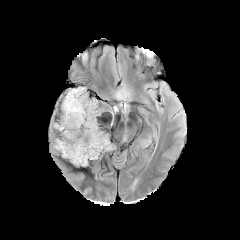
FLAIR MRI.
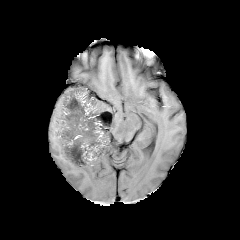
T1-weighted MR image.
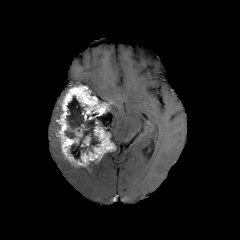
Post-contrast T1-weighted MR image.
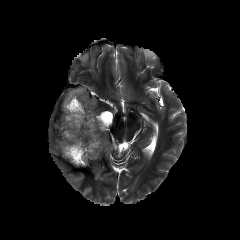
Same slice, T2-weighted MRI.
Head, Axial plane
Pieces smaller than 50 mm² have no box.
necrotic tumor core at 66, 96, 112, 159; 65, 130, 76, 138
enhancing tumor at 57, 85, 115, 166
peritumoral edema at 54, 139, 61, 152